FLAIR MR.
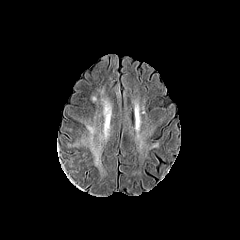
T1-weighted MR.
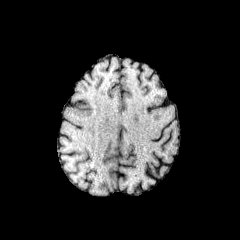
Post-contrast T1-weighted MR image.
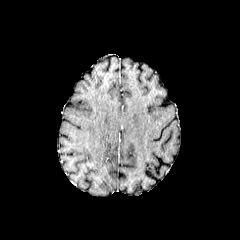
T2-weighted MR.
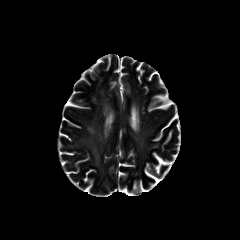
Axial plane. Brain. 240x240.
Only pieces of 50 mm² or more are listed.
Findings:
• peritumoral edema: <bbox>92, 147, 98, 164</bbox>, <bbox>103, 101, 110, 117</bbox>